Axial view. Slice index 86. Brain. Image width 240 mm, 1.00 mm slice spacing.
FLAIR MRI.
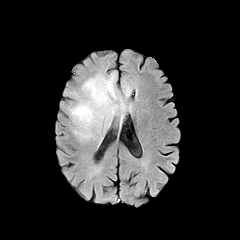
T1-weighted MR.
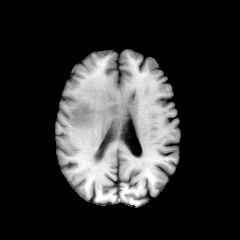
Post-contrast T1-weighted MR.
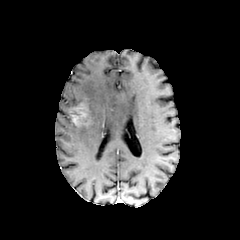
T2-weighted MR image.
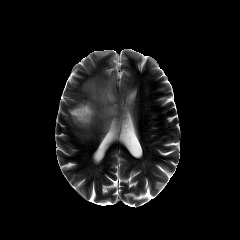
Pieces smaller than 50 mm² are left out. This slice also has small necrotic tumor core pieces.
The largest peritumoral edema region is bounded by [x1=74, y1=74, x2=132, y2=139]. The enhancing tumor is bounded by [x1=70, y1=103, x2=89, y2=125].